Image width 240 mm, 1.00 mm slice spacing.
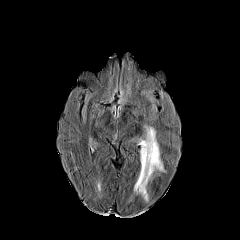
FLAIR MR.
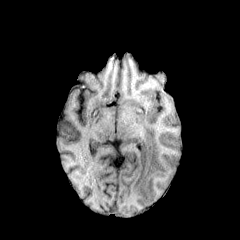
T1-weighted MR.
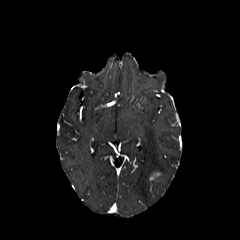
Post-contrast T1-weighted MR.
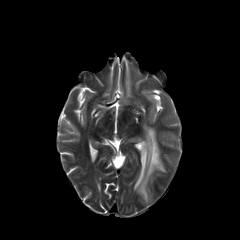
Same slice, T2-weighted MRI.
<segmentation>
  <enhancing_tumor>x1=149 y1=172 x2=159 y2=180</enhancing_tumor>
  <peritumoral_edema>x1=134 y1=126 x2=164 y2=201</peritumoral_edema>
</segmentation>